240x240 px | Slice 83 of 155 | Axial plane
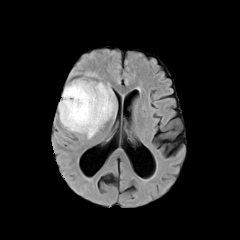
FLAIR magnetic resonance.
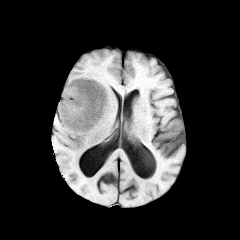
Same slice, T1-weighted MRI.
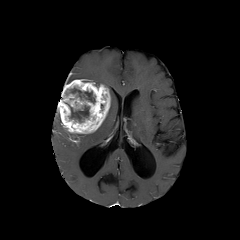
Post-contrast T1-weighted MRI of the same slice.
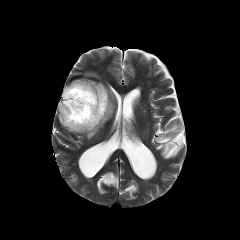
T2-weighted MRI.
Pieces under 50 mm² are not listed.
Findings:
* necrotic tumor core: x1=70 y1=88 x2=95 y2=102, x1=70 y1=105 x2=89 y2=121
* enhancing tumor: x1=57 y1=79 x2=110 y2=133
* peritumoral edema: x1=80 y1=85 x2=114 y2=138